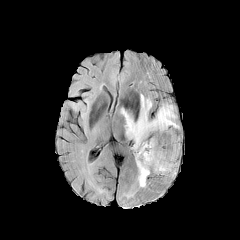
FLAIR MR.
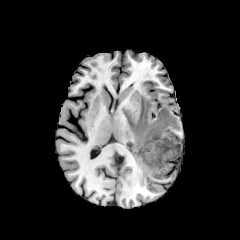
T1-weighted magnetic resonance of the same slice.
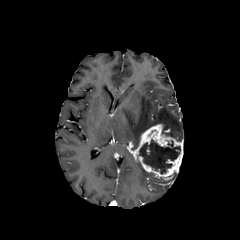
Post-contrast T1-weighted MR image of the same slice.
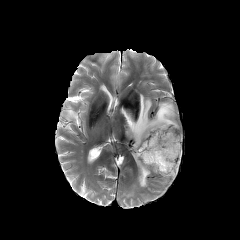
Same slice, T2-weighted MR image.
240x240 px, Head
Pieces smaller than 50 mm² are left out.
enhancing tumor: {"x1": 132, "y1": 124, "x2": 182, "y2": 180} | necrotic tumor core: {"x1": 139, "y1": 140, "x2": 180, "y2": 173} | peritumoral edema: {"x1": 136, "y1": 162, "x2": 152, "y2": 187}, {"x1": 120, "y1": 94, "x2": 179, "y2": 150}